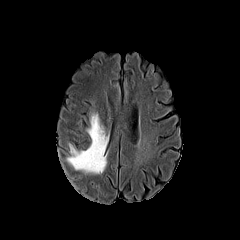
FLAIR MR.
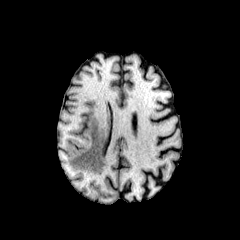
T1-weighted magnetic resonance.
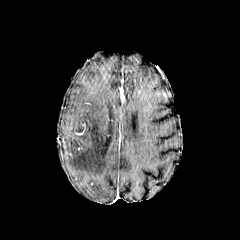
Post-contrast T1-weighted magnetic resonance of the same slice.
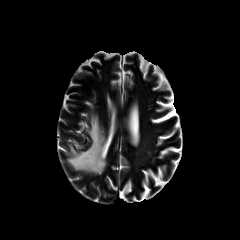
T2-weighted magnetic resonance of the same slice.
peritumoral edema: <bbox>67, 113, 107, 173</bbox>